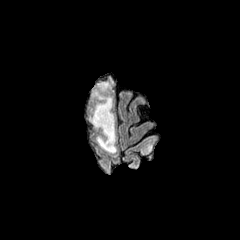
FLAIR MRI.
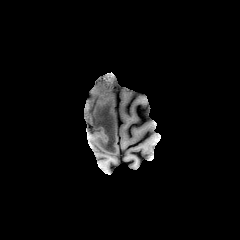
T1-weighted magnetic resonance.
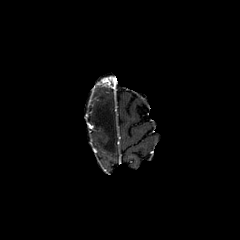
Post-contrast T1-weighted MRI.
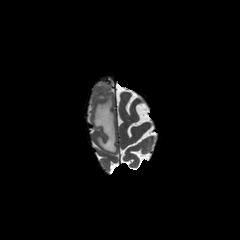
T2-weighted MRI.
Image size 240x240; Head; Axial plane
Findings:
- enhancing tumor: x1=95 y1=76 x2=112 y2=88
- peritumoral edema: x1=92 y1=86 x2=116 y2=152